FLAIR MRI.
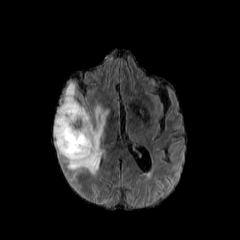
T1-weighted MRI.
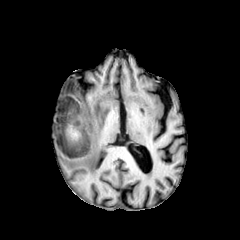
Post-contrast T1-weighted MR.
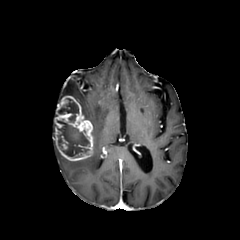
T2-weighted MRI.
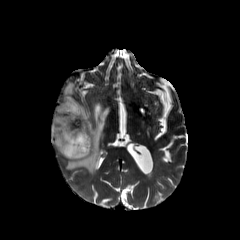
240x240, Brain
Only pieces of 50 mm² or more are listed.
{
  "peritumoral_edema": [
    "64:82:77:97",
    "63:105:108:175"
  ],
  "enhancing_tumor": [
    "61:136:68:149",
    "54:96:93:160"
  ],
  "necrotic_tumor_core": [
    "58:98:78:122",
    "57:120:89:156"
  ]
}